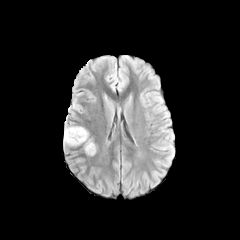
FLAIR MR.
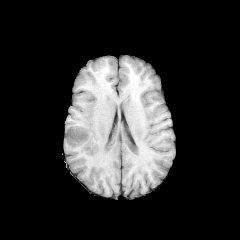
T1-weighted magnetic resonance of the same slice.
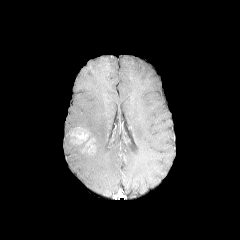
Same slice, post-contrast T1-weighted MR image.
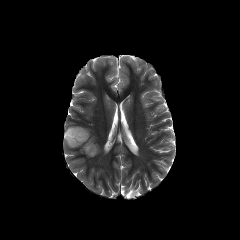
T2-weighted magnetic resonance of the same slice.
240x240 px. Axial plane.
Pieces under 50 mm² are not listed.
Segmented structures:
* enhancing tumor: (84, 139, 95, 153), (67, 127, 88, 144)
* peritumoral edema: (64, 127, 77, 145)